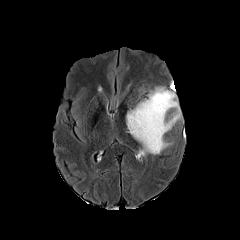
FLAIR MR.
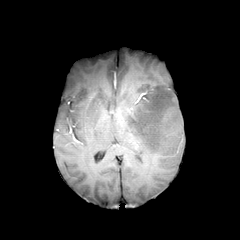
T1-weighted MR image.
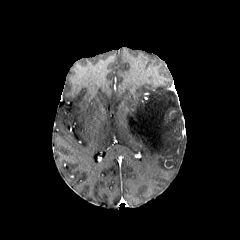
Post-contrast T1-weighted MRI of the same slice.
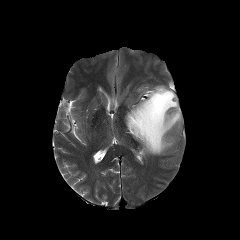
T2-weighted MR of the same slice.
Axial plane, Head
Annotated regions:
- peritumoral edema: <bbox>126, 86, 181, 156</bbox>